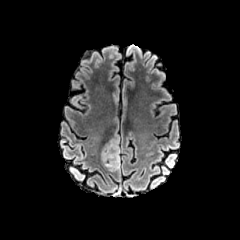
FLAIR MR image.
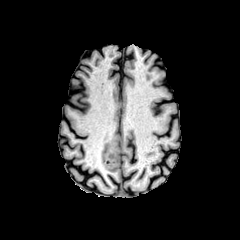
T1-weighted magnetic resonance of the same slice.
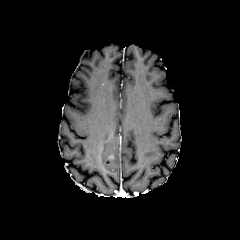
Post-contrast T1-weighted MRI.
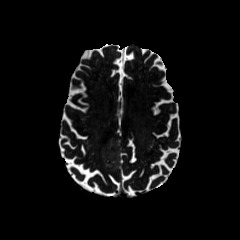
T2-weighted MRI.
Axial plane.
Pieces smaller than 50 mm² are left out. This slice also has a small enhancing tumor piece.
peritumoral edema: 101 130 120 171